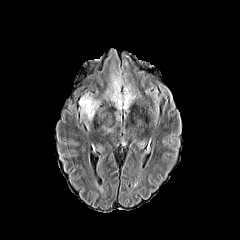
FLAIR magnetic resonance.
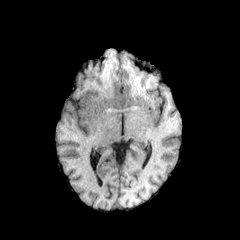
T1-weighted MRI.
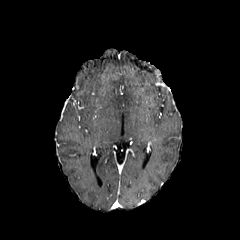
Same slice, post-contrast T1-weighted magnetic resonance.
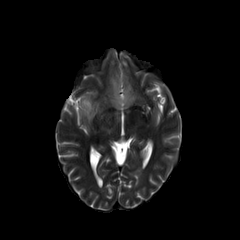
T2-weighted magnetic resonance of the same slice.
{"peritumoral_edema": ["x1=80, y1=95, x2=97, y2=119", "x1=112, y1=77, x2=133, y2=109"]}